Slice 75 of 155, Head, 240x240 px, Axial view
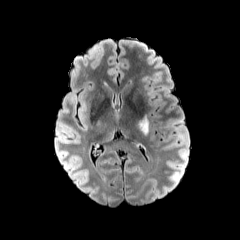
FLAIR MR image.
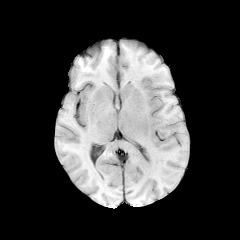
T1-weighted MR.
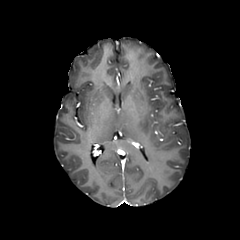
Post-contrast T1-weighted MR image of the same slice.
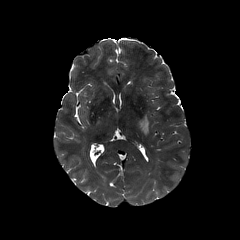
T2-weighted MR image.
The peritumoral edema is at 137:114:149:135.